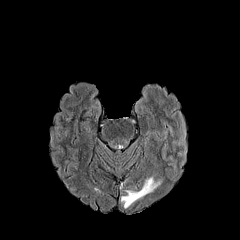
FLAIR MR.
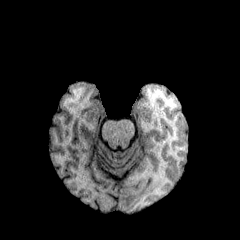
T1-weighted magnetic resonance.
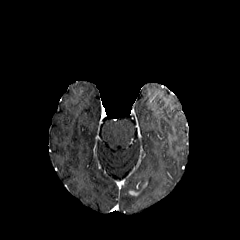
Post-contrast T1-weighted MR of the same slice.
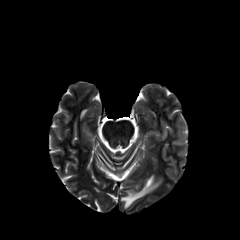
T2-weighted MRI.
240x240 | Axial plane
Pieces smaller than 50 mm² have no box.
enhancing tumor = box(128, 190, 139, 196)
peritumoral edema = box(121, 175, 162, 208)